Axial view. Image size 240x240. Slice 114/155.
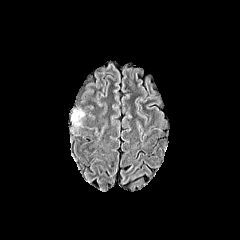
FLAIR MRI.
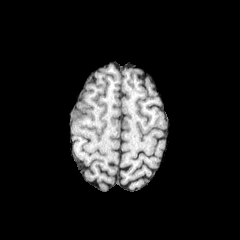
T1-weighted magnetic resonance of the same slice.
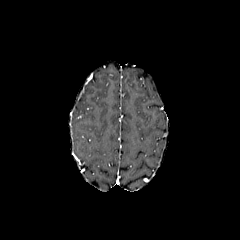
Post-contrast T1-weighted MR.
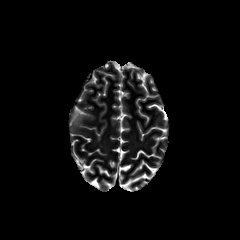
T2-weighted magnetic resonance of the same slice.
The peritumoral edema lies within 73:110:83:125.